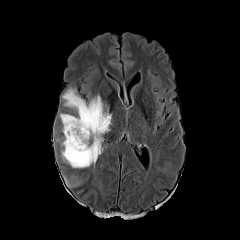
FLAIR MR.
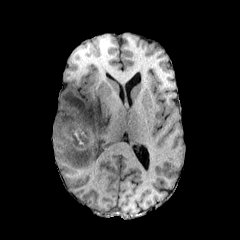
T1-weighted MRI of the same slice.
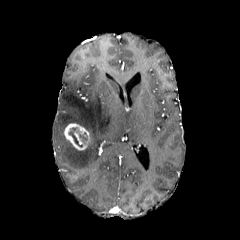
Post-contrast T1-weighted magnetic resonance.
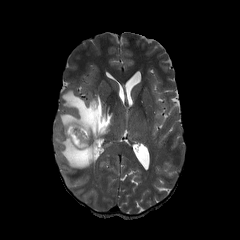
T2-weighted MR of the same slice.
Brain | 240x240 | Axial view
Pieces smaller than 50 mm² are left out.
The largest necrotic tumor core region is located at bbox=[69, 127, 82, 146]. The enhancing tumor lies within bbox=[64, 123, 89, 150]. 2 peritumoral edema regions are bounded by bbox=[65, 178, 78, 186]; bbox=[59, 88, 111, 168].